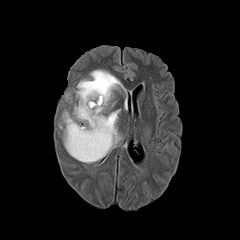
FLAIR MR image.
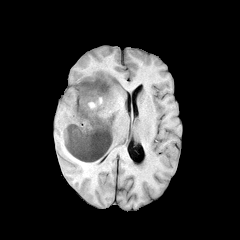
T1-weighted MR.
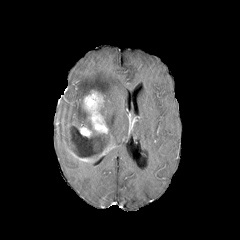
Post-contrast T1-weighted MR image.
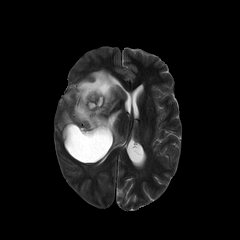
T2-weighted MR.
240x240.
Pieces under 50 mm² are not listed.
necrotic tumor core: bounding box rect(70, 126, 97, 157)
peritumoral edema: bounding box rect(59, 69, 125, 154)
enhancing tumor: bounding box rect(65, 90, 112, 162)